FLAIR MR.
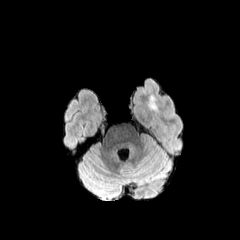
T1-weighted MRI.
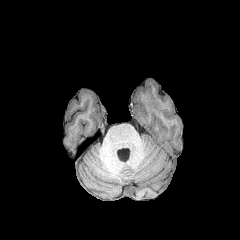
Post-contrast T1-weighted magnetic resonance.
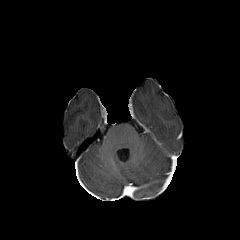
T2-weighted MR.
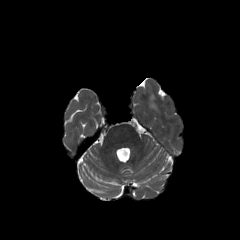
Brain, Axial view
Annotated regions:
- peritumoral edema: box=[150, 96, 156, 109]